240x240
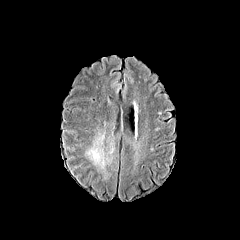
FLAIR MR.
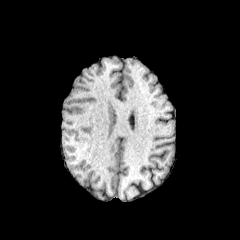
T1-weighted MR image.
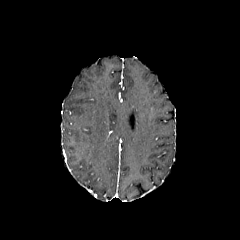
Same slice, post-contrast T1-weighted magnetic resonance.
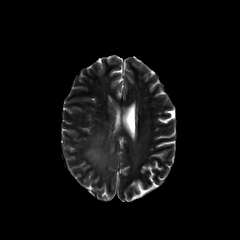
T2-weighted magnetic resonance of the same slice.
The peritumoral edema is bounded by [86, 133, 114, 170].